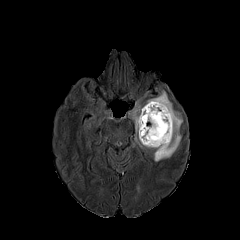
FLAIR MRI.
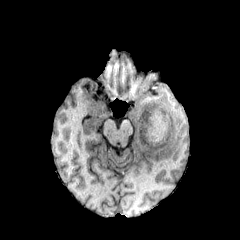
T1-weighted magnetic resonance.
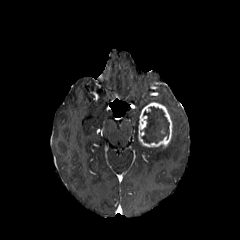
Post-contrast T1-weighted MR image of the same slice.
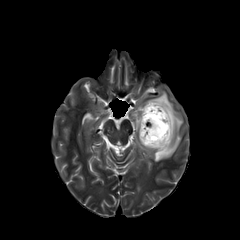
T2-weighted MR image.
Head
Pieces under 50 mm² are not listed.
The largest enhancing tumor region lies within (138, 102, 172, 148). The necrotic tumor core lies within (141, 106, 169, 143). The peritumoral edema is bounded by (129, 83, 184, 161).